FLAIR MRI.
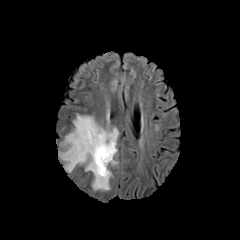
T1-weighted magnetic resonance.
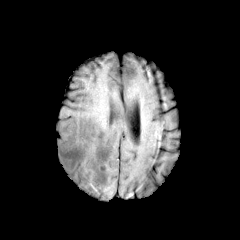
Post-contrast T1-weighted MRI.
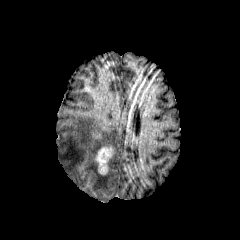
T2-weighted MR image.
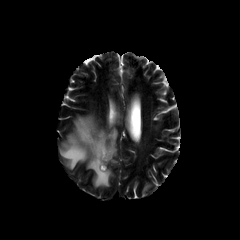
Image size 240x240, Brain
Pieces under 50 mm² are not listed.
Findings:
- enhancing tumor: {"x1": 95, "y1": 146, "x2": 113, "y2": 174}
- peritumoral edema: {"x1": 59, "y1": 114, "x2": 118, "y2": 190}